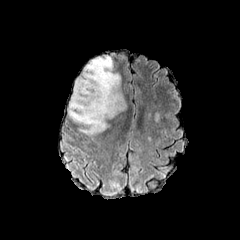
FLAIR MRI.
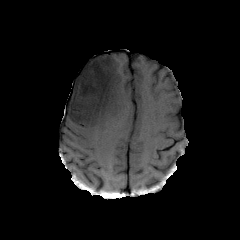
T1-weighted MR.
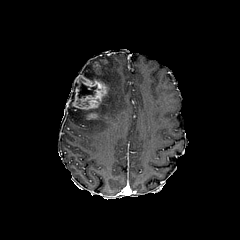
Post-contrast T1-weighted MRI of the same slice.
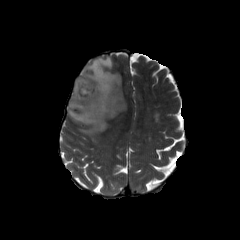
T2-weighted MR image of the same slice.
Head.
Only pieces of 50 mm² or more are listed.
peritumoral edema at 68,55,127,135
necrotic tumor core at 77,78,96,98
enhancing tumor at 85,112,98,119; 93,62,100,73; 71,73,108,110